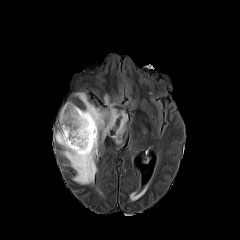
FLAIR magnetic resonance.
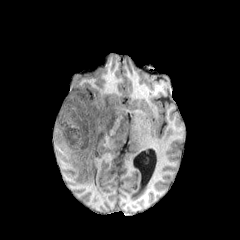
T1-weighted MRI.
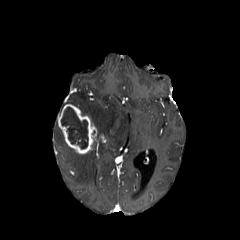
Same slice, post-contrast T1-weighted magnetic resonance.
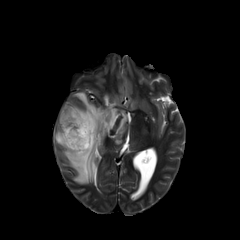
T2-weighted MR image.
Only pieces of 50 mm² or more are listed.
The largest necrotic tumor core region appears at box=[61, 107, 88, 149]. The 2 largest peritumoral edema regions are bounded by box=[54, 92, 127, 184]; box=[130, 184, 148, 200]. The largest enhancing tumor region appears at box=[57, 104, 97, 153].